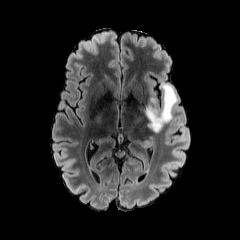
FLAIR MR image.
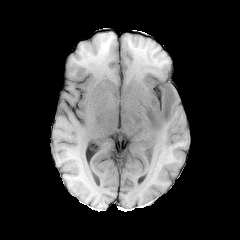
T1-weighted MR of the same slice.
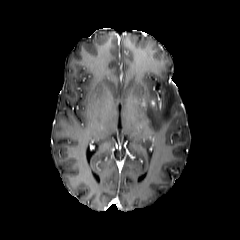
Same slice, post-contrast T1-weighted MRI.
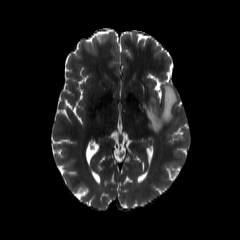
Same slice, T2-weighted MR.
Axial plane. Image size 240x240.
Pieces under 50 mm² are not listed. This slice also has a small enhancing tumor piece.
- peritumoral edema: [x1=145, y1=83, x2=178, y2=132]